Axial view; Slice 89 of 155
FLAIR MRI.
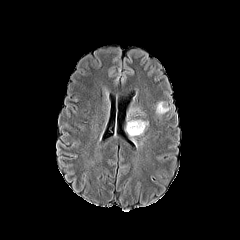
T1-weighted MRI.
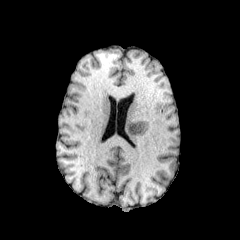
Post-contrast T1-weighted MR image.
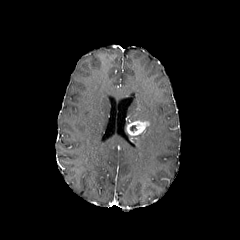
T2-weighted MR image.
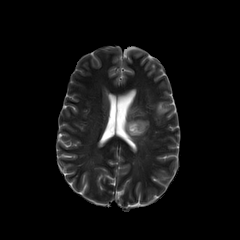
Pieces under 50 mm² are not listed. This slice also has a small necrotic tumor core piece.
- peritumoral edema: left=156, top=102, right=169, bottom=114; left=129, top=108, right=143, bottom=115
- enhancing tumor: left=126, top=120, right=149, bottom=135